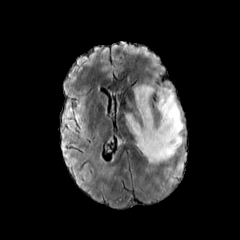
FLAIR MR image.
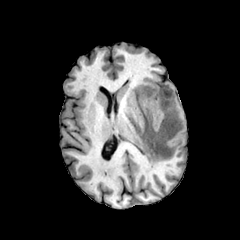
Same slice, T1-weighted MRI.
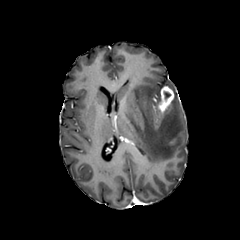
Post-contrast T1-weighted MR image.
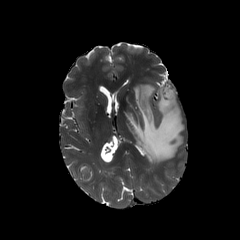
Same slice, T2-weighted magnetic resonance.
Brain; Axial slice
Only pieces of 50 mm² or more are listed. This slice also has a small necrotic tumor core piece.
peritumoral edema: box(126, 85, 184, 163) | enhancing tumor: box(158, 86, 174, 113)